FLAIR magnetic resonance.
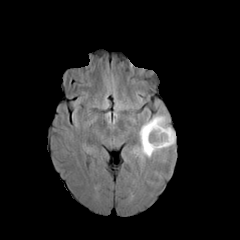
T1-weighted MR.
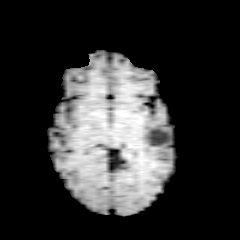
Post-contrast T1-weighted magnetic resonance.
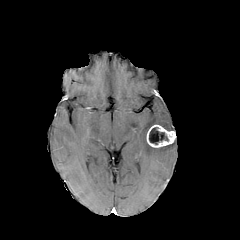
T2-weighted magnetic resonance.
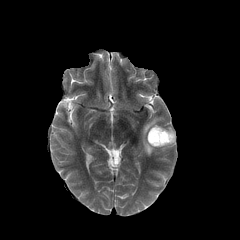
240x240 px.
The enhancing tumor appears at (146,124,176,147). The peritumoral edema lies within (138,116,174,157). The necrotic tumor core is located at (149,127,168,144).